Head | Slice 80 of 155
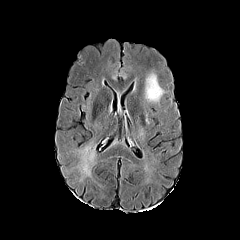
FLAIR MR.
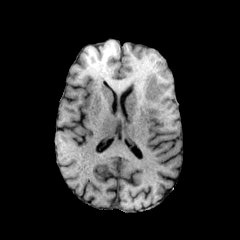
T1-weighted MR image of the same slice.
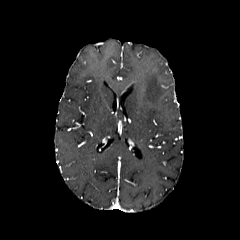
Same slice, post-contrast T1-weighted MR.
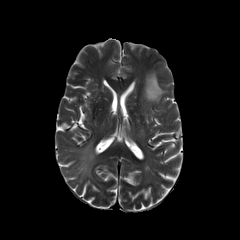
T2-weighted MRI.
peritumoral_edema:
  - box=[145, 73, 163, 101]